Slice 104 of 155. Image size 240x240. Axial view.
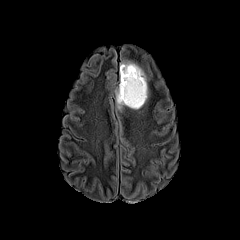
FLAIR magnetic resonance.
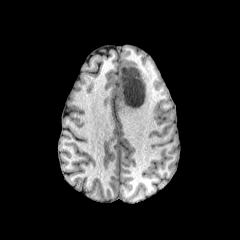
T1-weighted MR.
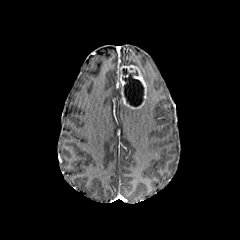
Post-contrast T1-weighted MRI.
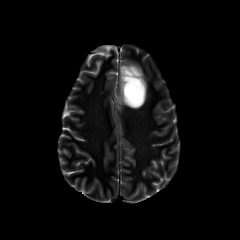
Same slice, T2-weighted MR.
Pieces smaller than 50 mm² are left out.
enhancing tumor: bounding box (left=120, top=65, right=146, bottom=109)
peritumoral edema: bounding box (left=115, top=83, right=124, bottom=109), (left=120, top=61, right=148, bottom=98)
necrotic tumor core: bounding box (left=122, top=68, right=143, bottom=106)